Head | Axial slice | Slice 76 of 155 | Image width 240 mm, 1.00 mm slice spacing
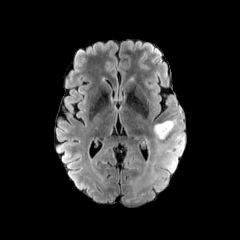
FLAIR MR.
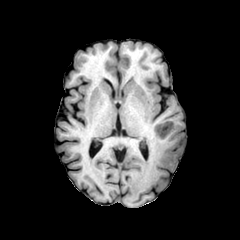
T1-weighted MR image of the same slice.
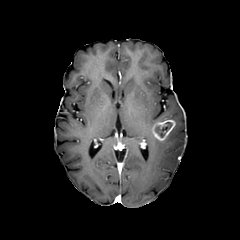
Post-contrast T1-weighted MR.
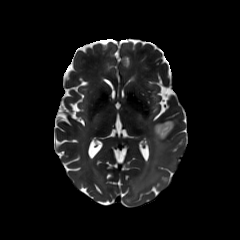
T2-weighted MRI.
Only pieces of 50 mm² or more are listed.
enhancing tumor = [153,119,175,140]
peritumoral edema = [153,134,182,172]
necrotic tumor core = [155,122,171,137]